FLAIR magnetic resonance.
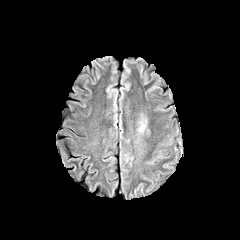
T1-weighted MR.
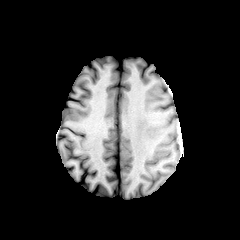
Post-contrast T1-weighted MR image.
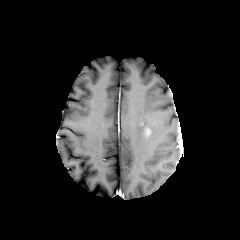
T2-weighted MR image.
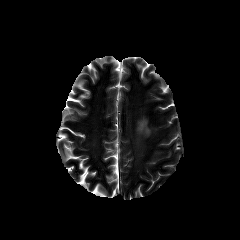
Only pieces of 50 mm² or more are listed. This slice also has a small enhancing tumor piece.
peritumoral edema: region(138, 121, 145, 131)